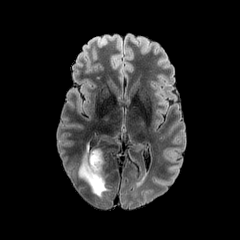
FLAIR magnetic resonance.
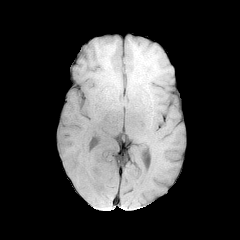
T1-weighted magnetic resonance of the same slice.
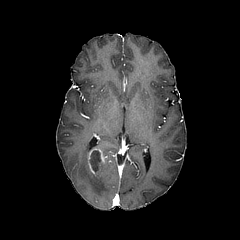
Post-contrast T1-weighted MR image.
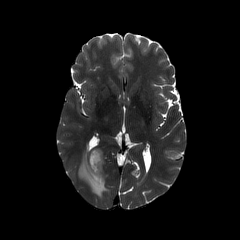
Same slice, T2-weighted MR image.
Head
The necrotic tumor core is at (x1=90, y1=151, x2=100, y2=171). The peritumoral edema lies within (x1=78, y1=145, x2=109, y2=197). The enhancing tumor is at (x1=88, y1=148, x2=105, y2=175).